Head; Axial slice; 240x240
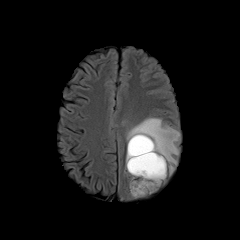
FLAIR MRI.
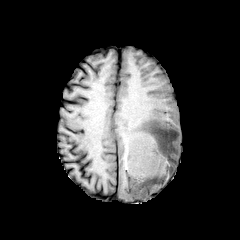
T1-weighted magnetic resonance.
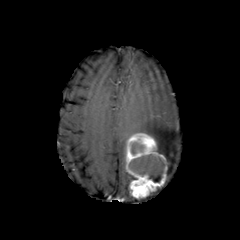
Same slice, post-contrast T1-weighted MR image.
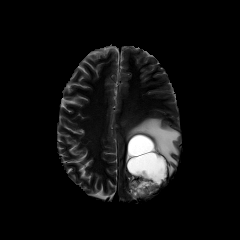
T2-weighted MR image of the same slice.
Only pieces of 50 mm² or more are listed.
The largest peritumoral edema region is located at <box>126,117,180,176</box>. The enhancing tumor lies within <box>126,133,167,198</box>. 2 necrotic tumor core regions are bounded by <box>129,154,164,182</box>, <box>131,140,143,154</box>.